Head. 240x240. Image covers 240 mm x 240 mm. Slice index 67.
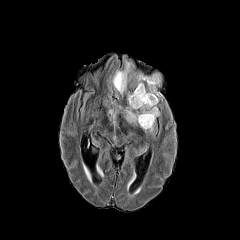
FLAIR MR image.
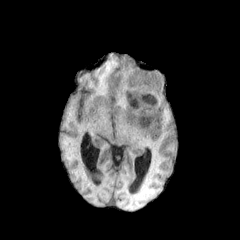
Same slice, T1-weighted MRI.
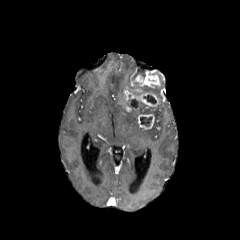
Post-contrast T1-weighted MR image.
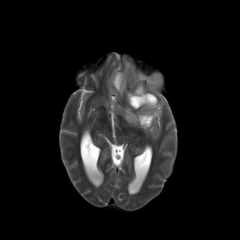
T2-weighted magnetic resonance of the same slice.
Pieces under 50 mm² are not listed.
peritumoral edema = rect(140, 104, 159, 118); rect(111, 60, 135, 95); rect(149, 86, 160, 96); rect(124, 109, 139, 124)
enhancing tumor = rect(124, 74, 160, 107); rect(138, 114, 154, 129)
necrotic tumor core = rect(143, 95, 156, 103); rect(140, 116, 152, 126); rect(129, 99, 143, 108)